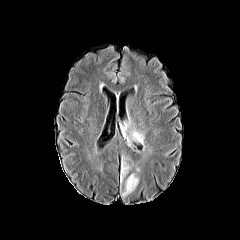
FLAIR MRI.
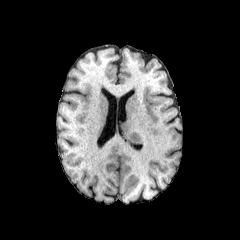
T1-weighted MR of the same slice.
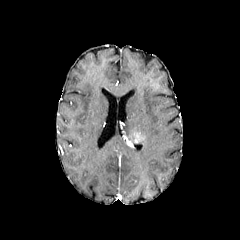
Post-contrast T1-weighted MR image of the same slice.
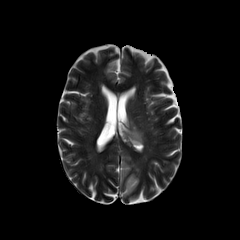
T2-weighted MR.
Brain | Image size 240x240
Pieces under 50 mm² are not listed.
enhancing tumor: box(131, 132, 143, 143) | peritumoral edema: box(122, 172, 139, 197); box(119, 156, 131, 183); box(121, 120, 132, 146)